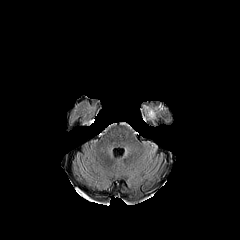
FLAIR MR image.
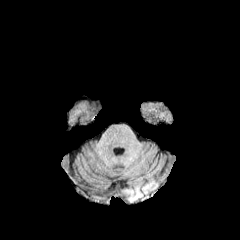
T1-weighted MR of the same slice.
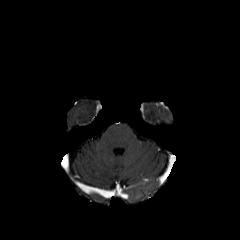
Post-contrast T1-weighted MR.
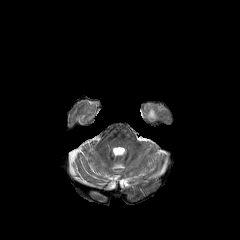
T2-weighted MR image.
peritumoral edema at l=148, t=109, r=155, b=119